FLAIR MR.
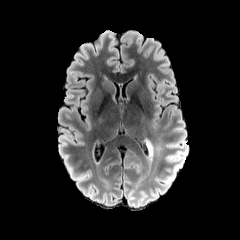
T1-weighted magnetic resonance.
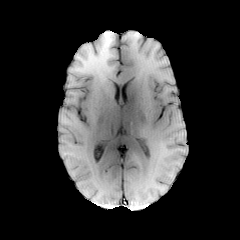
Post-contrast T1-weighted MR.
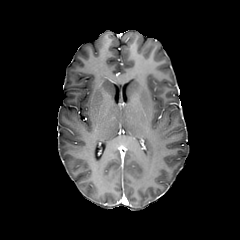
T2-weighted MRI.
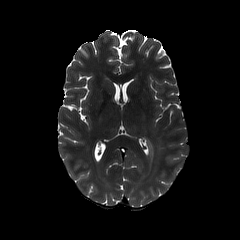
Brain
peritumoral edema: 146, 142, 152, 156